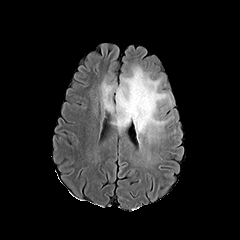
FLAIR magnetic resonance.
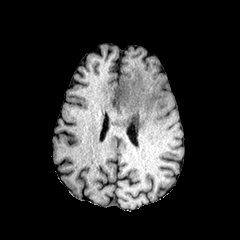
Same slice, T1-weighted MR image.
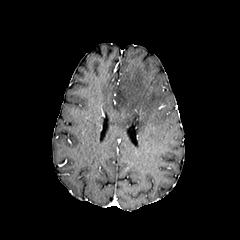
Post-contrast T1-weighted MRI.
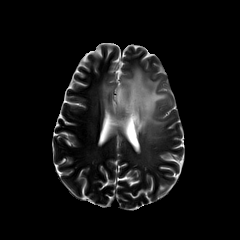
T2-weighted MR image of the same slice.
peritumoral edema: 101 66 171 139